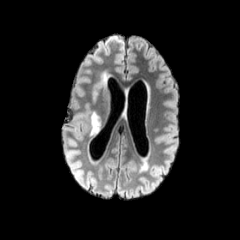
FLAIR magnetic resonance.
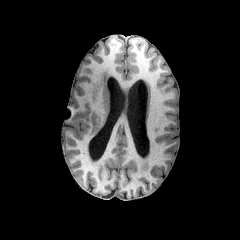
T1-weighted magnetic resonance of the same slice.
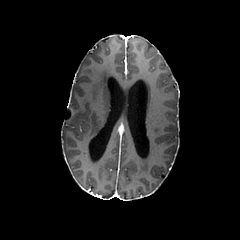
Post-contrast T1-weighted MR.
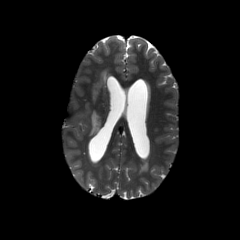
T2-weighted magnetic resonance of the same slice.
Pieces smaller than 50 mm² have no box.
{"peritumoral_edema": ["box(90, 111, 100, 135)", "box(95, 71, 108, 88)"]}